Image size 240x240, Brain
FLAIR MR.
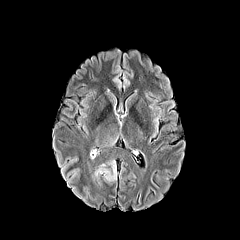
T1-weighted magnetic resonance.
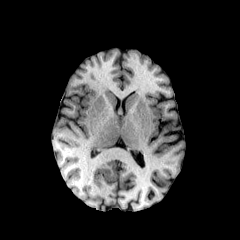
Post-contrast T1-weighted MRI.
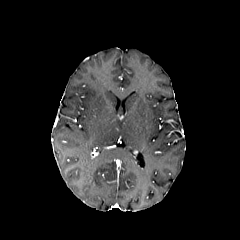
T2-weighted MR image.
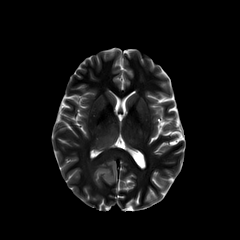
The peritumoral edema appears at box(95, 162, 116, 180).